FLAIR MR.
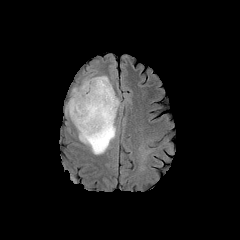
T1-weighted magnetic resonance.
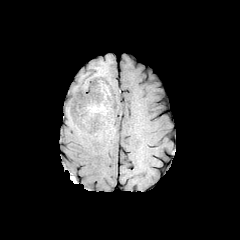
Post-contrast T1-weighted MR image.
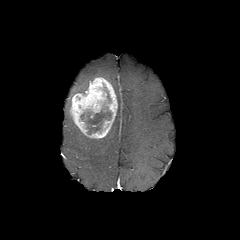
T2-weighted MRI.
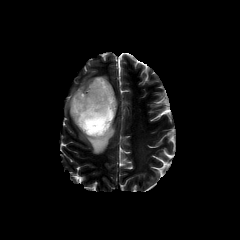
Head | Axial slice
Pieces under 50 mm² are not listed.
Annotated regions:
- enhancing tumor: box(69, 77, 117, 138)
- peritumoral edema: box(74, 97, 119, 154); box(72, 78, 93, 95)
- necrotic tumor core: box(85, 110, 111, 134)